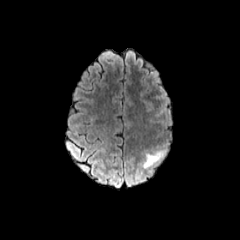
FLAIR magnetic resonance.
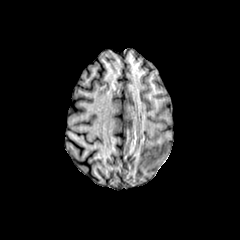
Same slice, T1-weighted MR image.
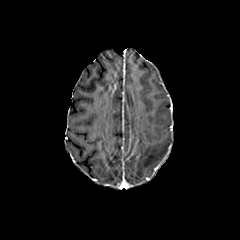
Same slice, post-contrast T1-weighted MR.
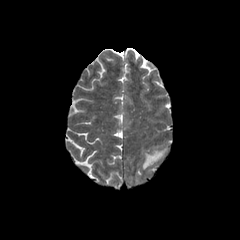
T2-weighted MR image.
Image size 240x240
Annotated regions:
* peritumoral edema: (left=142, top=148, right=166, bottom=167)